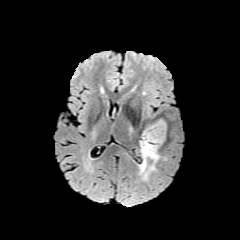
FLAIR magnetic resonance.
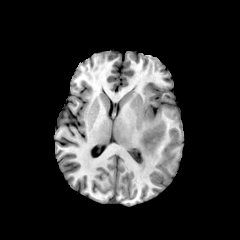
Same slice, T1-weighted magnetic resonance.
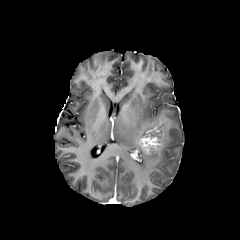
Same slice, post-contrast T1-weighted magnetic resonance.
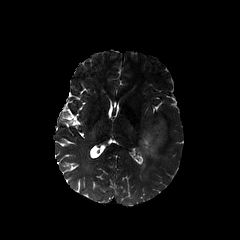
T2-weighted MR.
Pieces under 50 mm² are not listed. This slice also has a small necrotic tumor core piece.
enhancing tumor — box(139, 126, 162, 153)
peritumoral edema — box(140, 147, 159, 178)